Slice index 99 | Axial plane
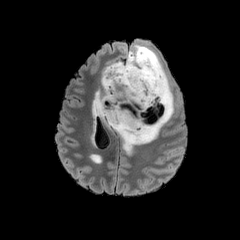
FLAIR MRI.
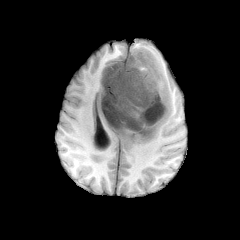
T1-weighted magnetic resonance.
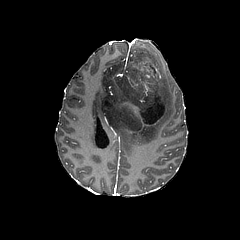
Same slice, post-contrast T1-weighted MRI.
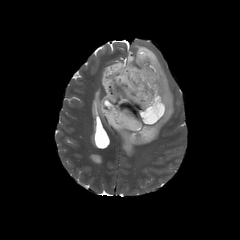
T2-weighted magnetic resonance.
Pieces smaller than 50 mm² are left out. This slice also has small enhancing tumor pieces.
The 2 largest peritumoral edema regions are bounded by bbox(92, 89, 105, 123); bbox(113, 45, 174, 153). The largest necrotic tumor core region is located at bbox(100, 50, 167, 135).